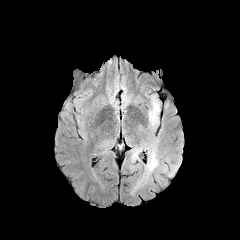
FLAIR magnetic resonance.
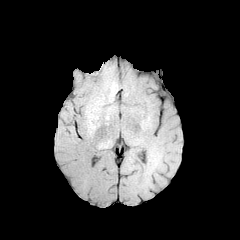
T1-weighted MR.
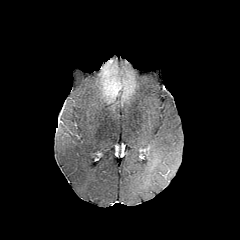
Post-contrast T1-weighted MR.
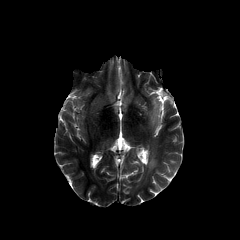
T2-weighted magnetic resonance of the same slice.
peritumoral_edema:
  - [125, 90, 182, 190]
  - [96, 136, 116, 150]